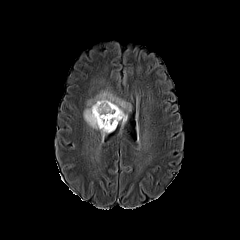
FLAIR MR image.
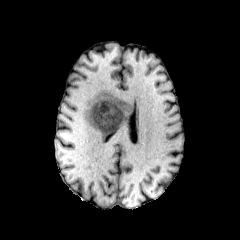
Same slice, T1-weighted MR.
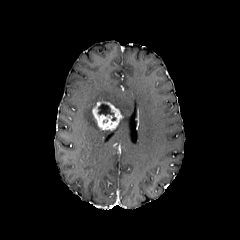
Post-contrast T1-weighted magnetic resonance of the same slice.
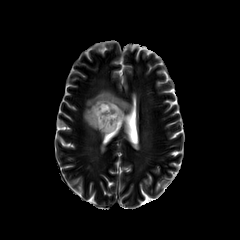
T2-weighted MR image.
Image size 240x240. Axial slice. Head.
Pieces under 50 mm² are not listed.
<segmentation>
  <enhancing_tumor>region(92, 100, 122, 130)</enhancing_tumor>
  <necrotic_tumor_core>region(98, 103, 115, 120)</necrotic_tumor_core>
  <peritumoral_edema>region(83, 90, 130, 136)</peritumoral_edema>
</segmentation>